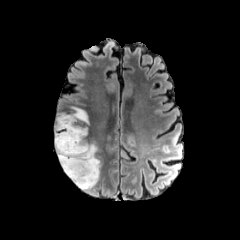
FLAIR magnetic resonance.
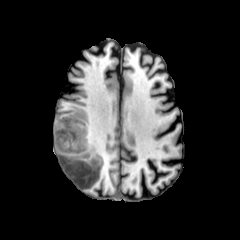
T1-weighted magnetic resonance of the same slice.
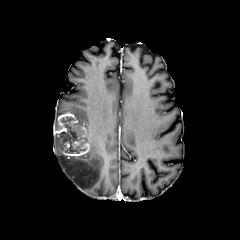
Same slice, post-contrast T1-weighted MR image.
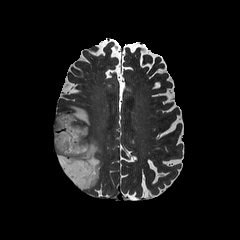
Same slice, T2-weighted MRI.
Brain, Axial view
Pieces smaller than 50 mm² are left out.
The largest necrotic tumor core region lies within 58 124 85 153. The peritumoral edema lies within 54 106 100 189. The largest enhancing tumor region is bounded by 54 113 90 156.